FLAIR MRI.
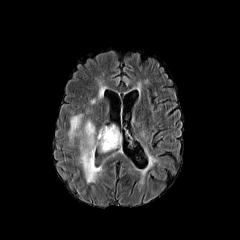
T1-weighted MRI.
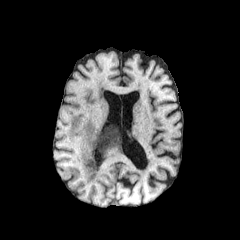
Post-contrast T1-weighted MRI.
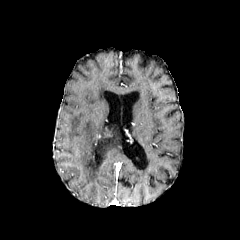
T2-weighted MRI.
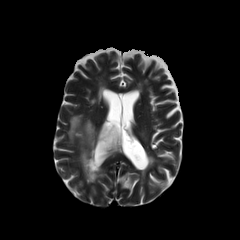
Brain
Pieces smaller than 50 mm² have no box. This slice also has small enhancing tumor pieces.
{"peritumoral_edema": ["[69,115,81,138]", "[99,126,120,152]", "[81,121,100,182]"]}